Axial view, 240x240 px
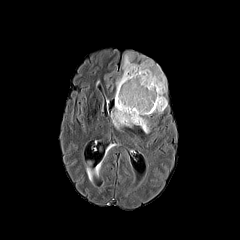
FLAIR MR.
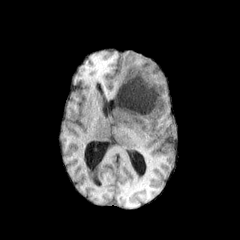
Same slice, T1-weighted MR image.
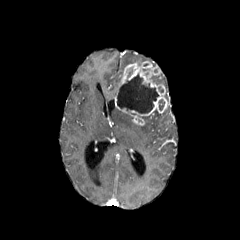
Post-contrast T1-weighted MRI of the same slice.
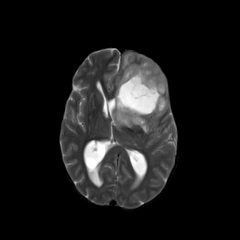
Same slice, T2-weighted MR image.
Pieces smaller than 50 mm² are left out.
peritumoral edema: (x1=141, y1=117, x2=149, y2=133), (x1=110, y1=108, x2=135, y2=128), (x1=122, y1=53, x2=132, y2=69)
enhancing tumor: (x1=115, y1=61, x2=167, y2=125)
necrotic tumor core: (x1=117, y1=74, x2=158, y2=113), (x1=159, y1=99, x2=164, y2=110), (x1=151, y1=74, x2=162, y2=84)